FLAIR MRI.
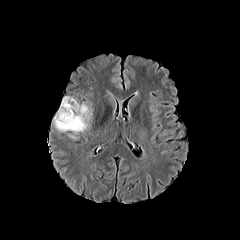
T1-weighted magnetic resonance.
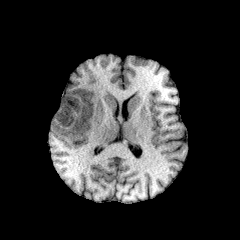
Post-contrast T1-weighted MRI.
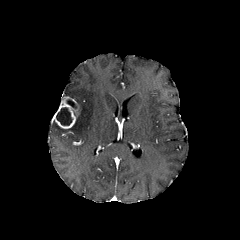
T2-weighted magnetic resonance.
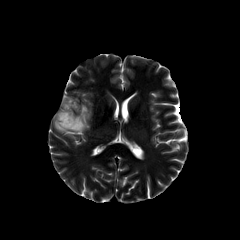
Brain, 240x240 px
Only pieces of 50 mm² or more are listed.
Annotated regions:
• peritumoral edema: [54, 103, 92, 133]
• necrotic tumor core: [67, 99, 76, 108], [56, 107, 72, 125]
• enhancing tumor: [53, 96, 79, 128]